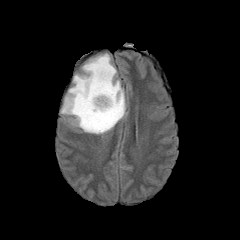
FLAIR MR image.
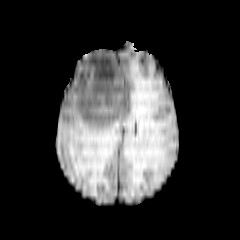
Same slice, T1-weighted MRI.
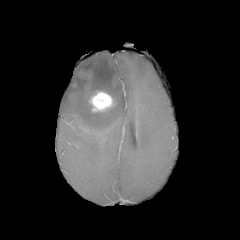
Post-contrast T1-weighted magnetic resonance.
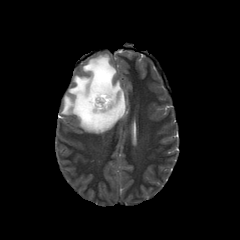
T2-weighted MRI.
Head
<segmentation>
  <peritumoral_edema>[61,53,126,134]</peritumoral_edema>
  <enhancing_tumor>[88,90,115,112]</enhancing_tumor>
</segmentation>